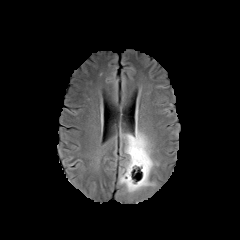
FLAIR MR image.
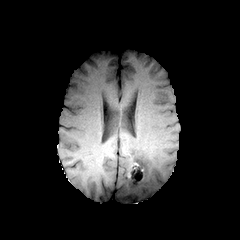
T1-weighted MRI.
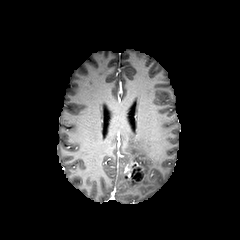
Post-contrast T1-weighted MRI.
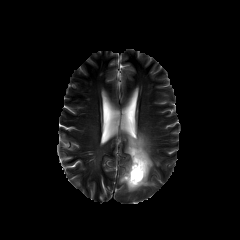
Same slice, T2-weighted MRI.
Axial slice, 240x240
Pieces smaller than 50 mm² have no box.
peritumoral edema: bounding box l=119, t=127, r=158, b=192
necrotic tumor core: bounding box l=131, t=168, r=142, b=180
enhancing tumor: bounding box l=124, t=163, r=144, b=184